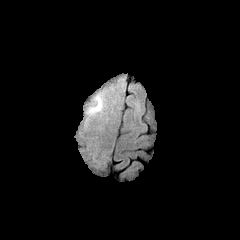
FLAIR MR.
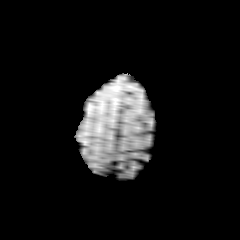
T1-weighted magnetic resonance of the same slice.
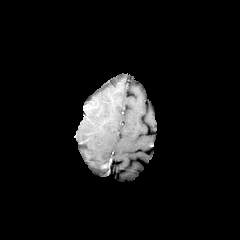
Post-contrast T1-weighted magnetic resonance.
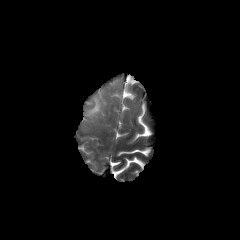
T2-weighted magnetic resonance.
Axial slice | Brain
peritumoral edema — region(87, 92, 106, 117)